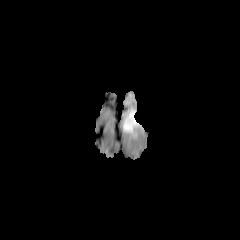
FLAIR MRI.
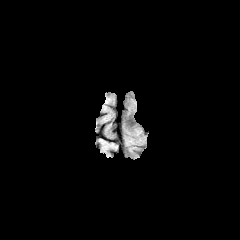
T1-weighted magnetic resonance.
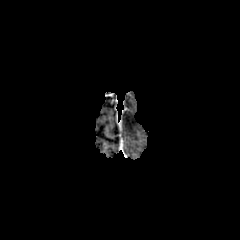
Same slice, post-contrast T1-weighted MRI.
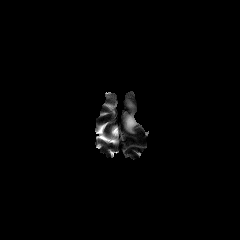
T2-weighted MRI.
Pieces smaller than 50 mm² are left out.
{
  "peritumoral_edema": [
    "(left=124, top=108, right=138, bottom=133)"
  ]
}